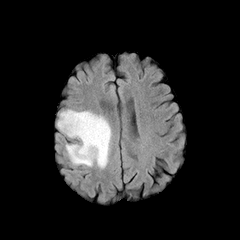
FLAIR MR.
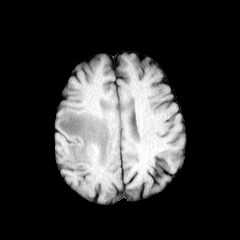
T1-weighted MRI.
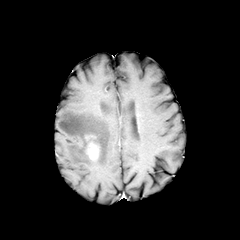
Post-contrast T1-weighted MRI.
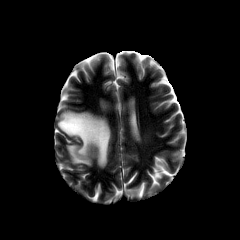
T2-weighted MR of the same slice.
Image size 240x240, Axial slice
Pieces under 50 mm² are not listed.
peritumoral edema: (57,110,111,168) | enhancing tumor: (86,141,98,159)